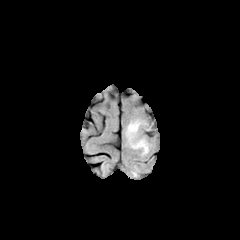
FLAIR magnetic resonance.
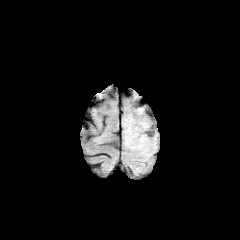
T1-weighted MR of the same slice.
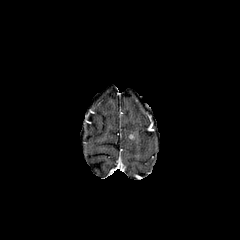
Post-contrast T1-weighted MRI.
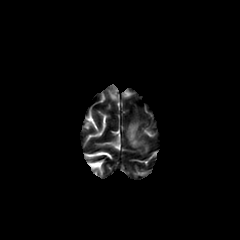
T2-weighted magnetic resonance of the same slice.
Brain
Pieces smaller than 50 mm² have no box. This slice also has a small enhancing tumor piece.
peritumoral edema — 125,118,149,154